FLAIR magnetic resonance.
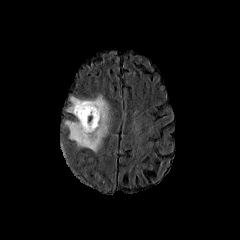
T1-weighted magnetic resonance.
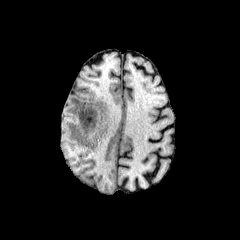
Post-contrast T1-weighted MRI.
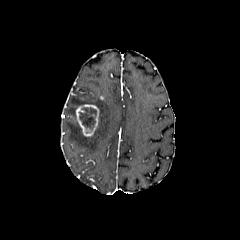
T2-weighted MR image.
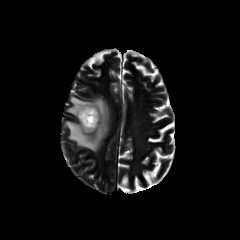
Axial view
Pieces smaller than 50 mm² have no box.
The peritumoral edema is bounded by <box>64,95,109,152</box>. The largest necrotic tumor core region lies within <box>78,107,96,129</box>. The largest enhancing tumor region is located at <box>75,104,99,136</box>.